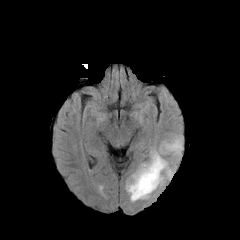
FLAIR MRI.
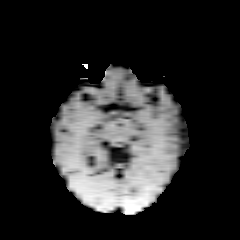
T1-weighted magnetic resonance.
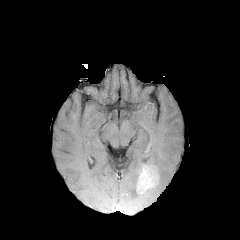
Same slice, post-contrast T1-weighted MR image.
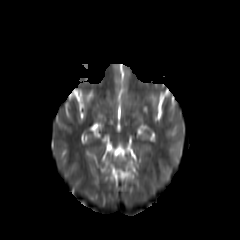
T2-weighted MR image of the same slice.
240x240
Segmented structures:
* peritumoral edema: 126 151 171 201, 159 135 182 155
* enhancing tumor: 137 166 157 193